FLAIR MR image.
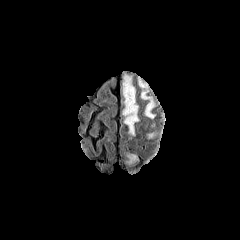
T1-weighted magnetic resonance.
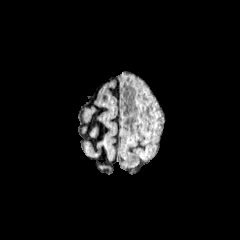
Post-contrast T1-weighted MR image.
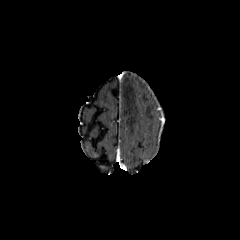
T2-weighted magnetic resonance.
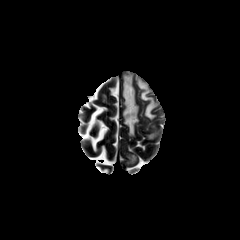
Head
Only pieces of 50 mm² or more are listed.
<segmentation>
  <peritumoral_edema>[125, 154, 137, 165], [141, 90, 155, 118], [123, 75, 138, 135]</peritumoral_edema>
</segmentation>